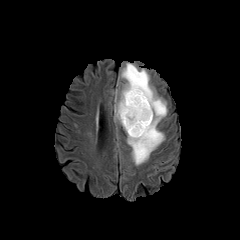
FLAIR MRI.
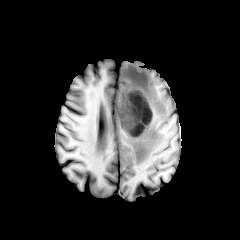
Same slice, T1-weighted MRI.
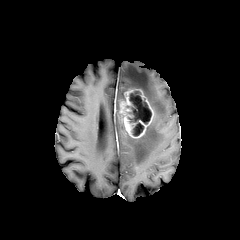
Post-contrast T1-weighted magnetic resonance.
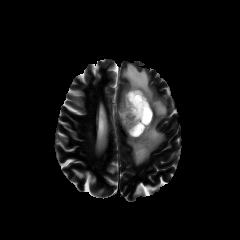
T2-weighted MR.
Axial slice, Head
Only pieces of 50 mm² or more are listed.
* peritumoral edema: 117 63 167 165
* enhancing tumor: 118 89 154 138
* necrotic tumor core: 126 91 151 124, 132 122 143 136